FLAIR magnetic resonance.
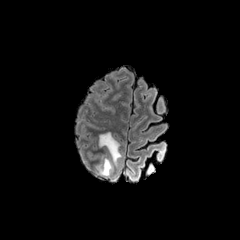
T1-weighted MR.
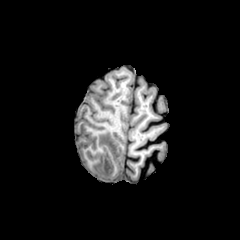
Post-contrast T1-weighted magnetic resonance.
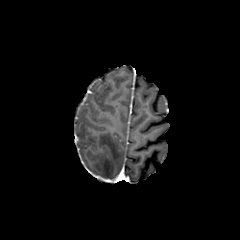
T2-weighted MR image.
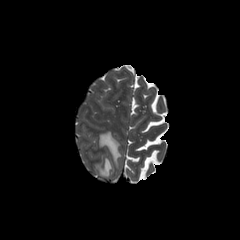
Findings:
• peritumoral edema: [98,132,121,166], [96,157,113,177]